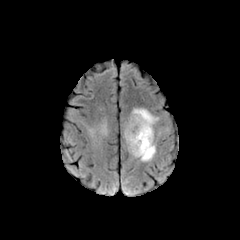
FLAIR MRI.
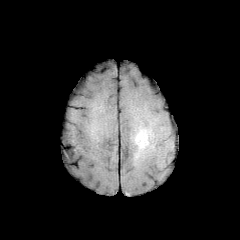
T1-weighted magnetic resonance of the same slice.
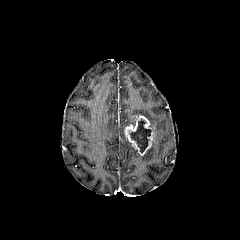
Post-contrast T1-weighted MRI of the same slice.
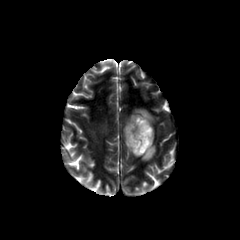
Same slice, T2-weighted MR.
Brain
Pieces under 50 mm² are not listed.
The largest peritumoral edema region lies within x1=123, y1=108, x2=158, y2=161. The necrotic tumor core is located at x1=130, y1=119, x2=151, y2=152. The enhancing tumor lies within x1=124, y1=115, x2=153, y2=155.